FLAIR MR image.
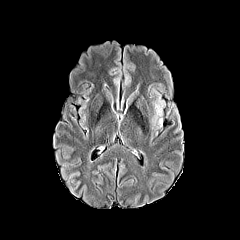
T1-weighted magnetic resonance.
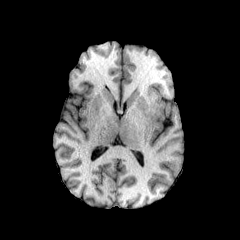
Post-contrast T1-weighted magnetic resonance.
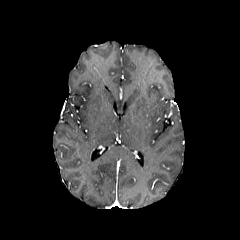
T2-weighted magnetic resonance.
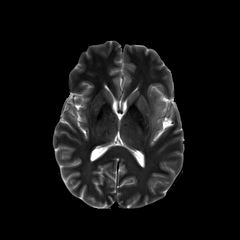
240x240
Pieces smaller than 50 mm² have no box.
Annotated regions:
• peritumoral edema: x1=154 y1=99 x2=162 y2=118